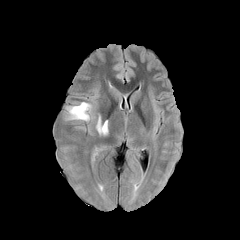
FLAIR magnetic resonance.
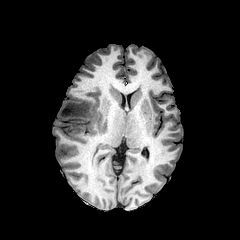
Same slice, T1-weighted magnetic resonance.
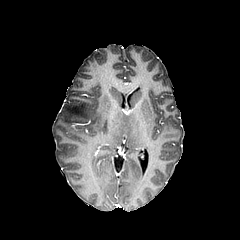
Post-contrast T1-weighted magnetic resonance.
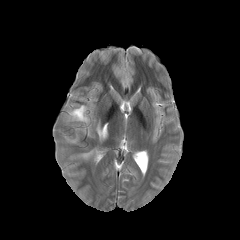
T2-weighted MR.
240x240; Axial slice; Brain
2 peritumoral edema regions are located at (96, 117, 107, 136), (67, 102, 91, 120).